Head, 240x240 px, Slice 87 of 155
FLAIR MR.
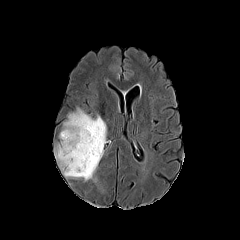
T1-weighted MRI.
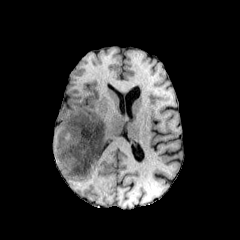
Post-contrast T1-weighted MRI.
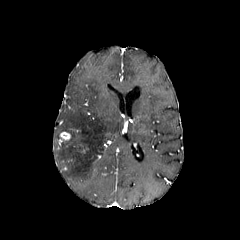
T2-weighted MRI.
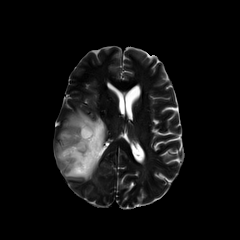
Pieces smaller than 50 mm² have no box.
enhancing_tumor:
  - 60 132 70 139
necrotic_tumor_core:
  - 63 138 76 144
peritumoral_edema:
  - 55 109 106 180